FLAIR magnetic resonance.
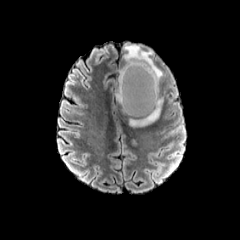
T1-weighted MR image.
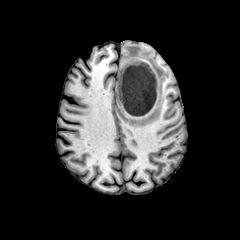
Post-contrast T1-weighted MR.
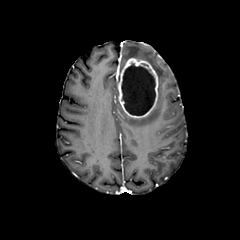
T2-weighted MRI.
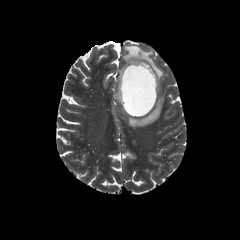
Head
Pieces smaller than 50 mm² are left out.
enhancing tumor: 118,58,158,118 | necrotic tumor core: 121,64,155,115 | peritumoral edema: 123,44,163,81; 129,87,163,126